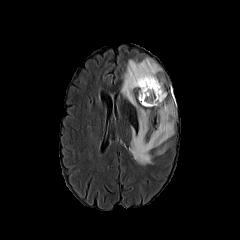
FLAIR MR.
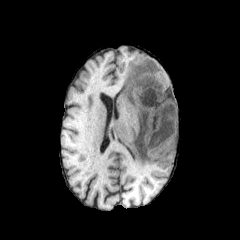
Same slice, T1-weighted MR.
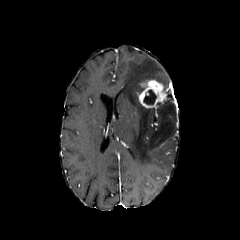
Post-contrast T1-weighted MR.
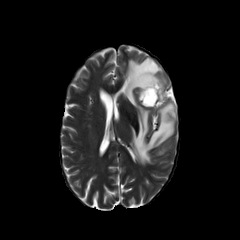
T2-weighted MR image.
Brain
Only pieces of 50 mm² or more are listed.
The 2 largest peritumoral edema regions are located at rect(121, 57, 175, 165); rect(156, 145, 168, 154). The enhancing tumor is bounded by rect(138, 80, 166, 107). The necrotic tumor core lies within rect(144, 90, 156, 104).